Slice index 112. Axial view.
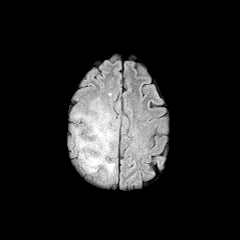
FLAIR MR.
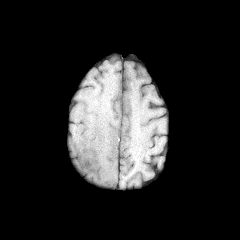
T1-weighted magnetic resonance.
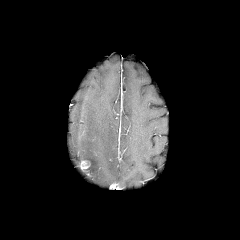
Post-contrast T1-weighted MR image.
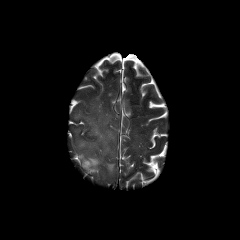
T2-weighted MR image.
* enhancing tumor: (80, 160, 90, 169)
* peritumoral edema: (74, 103, 117, 178)